240x240
FLAIR magnetic resonance.
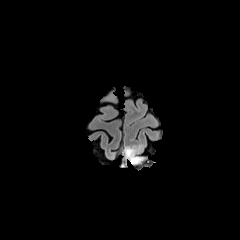
T1-weighted MR image.
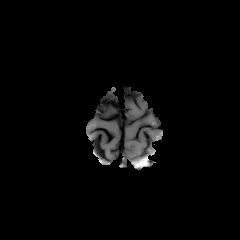
Post-contrast T1-weighted MR.
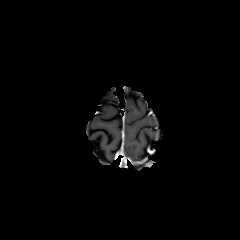
T2-weighted magnetic resonance.
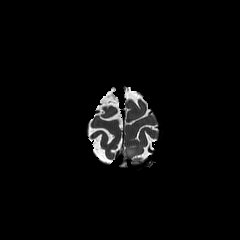
<segmentation>
  <peritumoral_edema>[124, 145, 141, 163]</peritumoral_edema>
</segmentation>